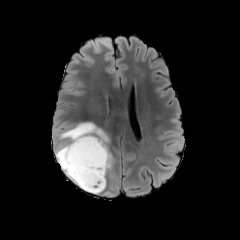
FLAIR MR image.
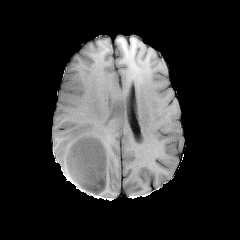
T1-weighted MR image.
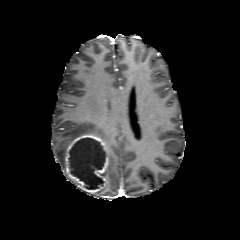
Post-contrast T1-weighted MR image.
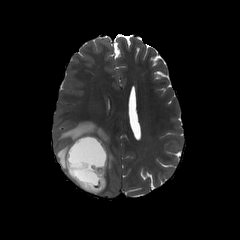
T2-weighted magnetic resonance.
240x240; Brain
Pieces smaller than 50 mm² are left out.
enhancing_tumor:
  - [63, 133, 108, 195]
peritumoral_edema:
  - [55, 122, 114, 174]
necrotic_tumor_core:
  - [69, 138, 105, 189]